Image size 240x240. Image covers 240 mm x 240 mm.
FLAIR magnetic resonance.
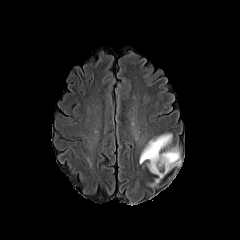
T1-weighted MR.
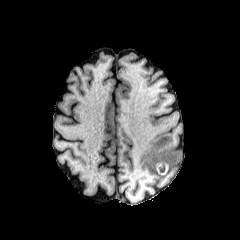
Post-contrast T1-weighted MR image.
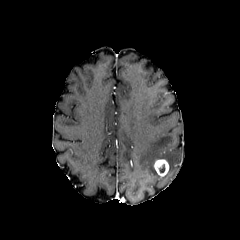
T2-weighted MR image.
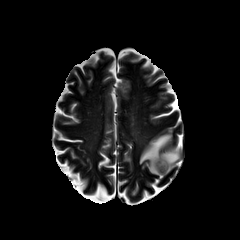
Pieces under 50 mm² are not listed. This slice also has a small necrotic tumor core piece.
Findings:
- peritumoral edema: rect(139, 134, 180, 174)
- enhancing tumor: rect(154, 159, 169, 177)